Head. Slice 68 of 155. Axial slice. 240x240.
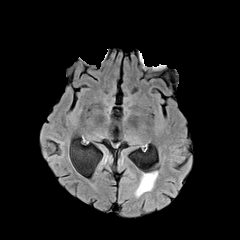
FLAIR MR.
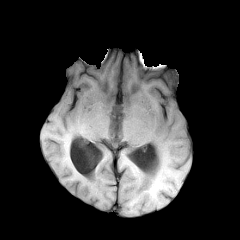
Same slice, T1-weighted MR image.
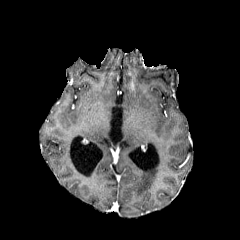
Post-contrast T1-weighted MRI of the same slice.
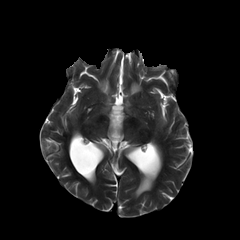
T2-weighted magnetic resonance.
The peritumoral edema lies within <box>135,171,157,196</box>.